Axial view | Brain | 240x240
FLAIR MRI.
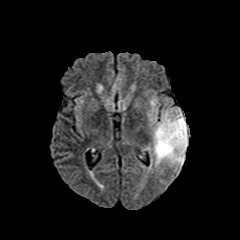
T1-weighted MRI.
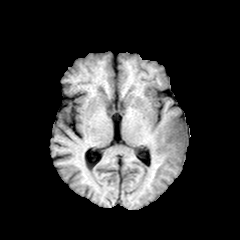
Post-contrast T1-weighted MRI.
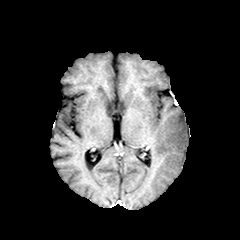
T2-weighted MRI.
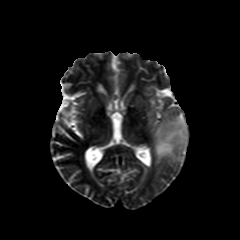
Segmented structures:
* peritumoral edema: l=153, t=108, r=188, b=165